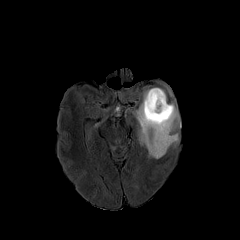
FLAIR magnetic resonance.
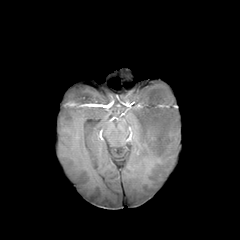
Same slice, T1-weighted magnetic resonance.
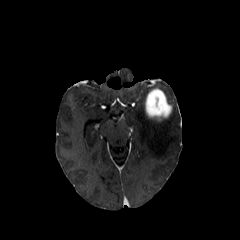
Post-contrast T1-weighted MR.
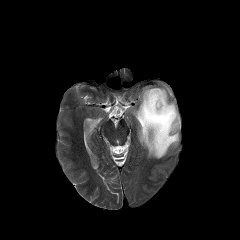
T2-weighted MR image of the same slice.
Axial slice
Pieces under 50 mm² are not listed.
The 2 largest peritumoral edema regions appear at <bbox>159, 85, 173, 100</bbox>, <bbox>132, 88, 180, 158</bbox>. The enhancing tumor appears at <bbox>145, 88, 172, 120</bbox>.